Axial view
FLAIR magnetic resonance.
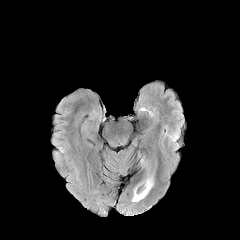
T1-weighted MRI.
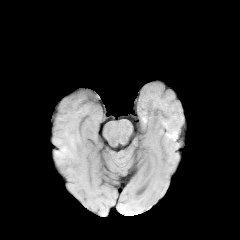
Post-contrast T1-weighted MRI.
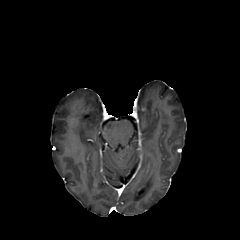
T2-weighted magnetic resonance.
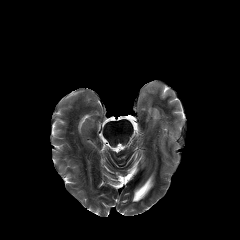
Annotated regions:
* peritumoral edema: (left=132, top=176, right=153, bottom=201)